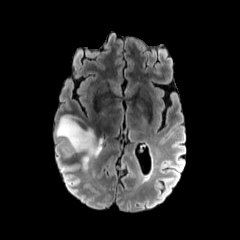
FLAIR MR.
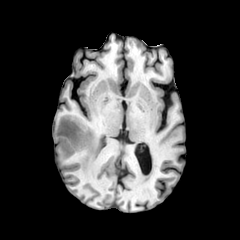
T1-weighted MRI of the same slice.
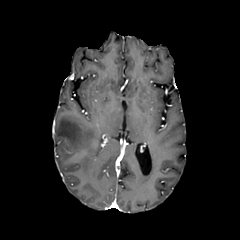
Post-contrast T1-weighted MR image.
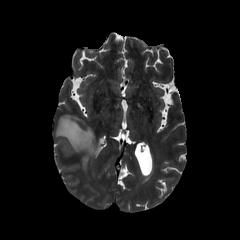
T2-weighted MR of the same slice.
Head, Axial plane
The peritumoral edema lies within (left=56, top=116, right=103, bottom=169).